FLAIR MR image.
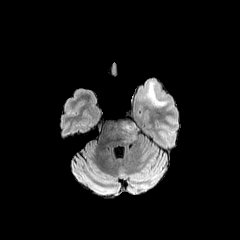
T1-weighted MR image.
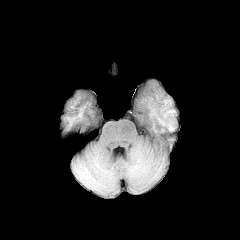
Post-contrast T1-weighted magnetic resonance.
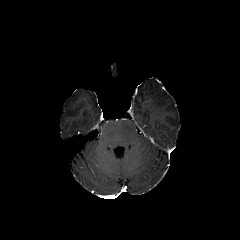
T2-weighted MRI.
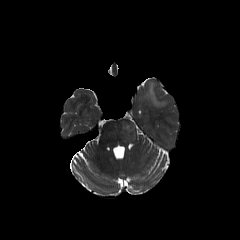
• peritumoral edema: <box>147,82,165,106</box>, <box>122,121,136,140</box>